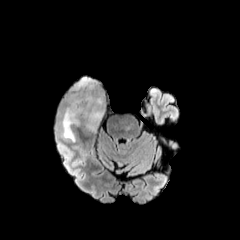
FLAIR magnetic resonance.
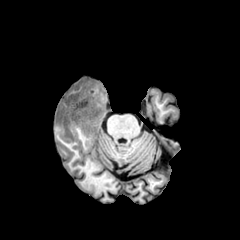
T1-weighted MR image.
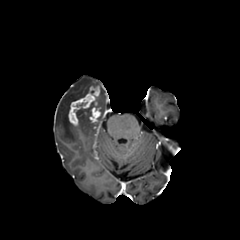
Post-contrast T1-weighted MRI.
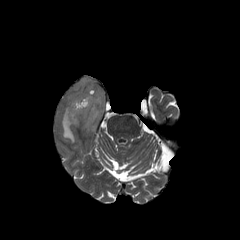
T2-weighted magnetic resonance of the same slice.
Axial slice, Head
Segmented structures:
• enhancing tumor: x1=68, y1=86, x2=100, y2=125
• peritumoral edema: x1=69, y1=77, x2=105, y2=131; x1=61, y1=106, x2=75, y2=142